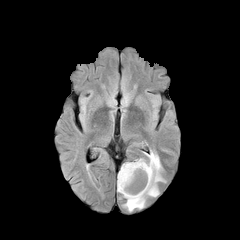
FLAIR magnetic resonance.
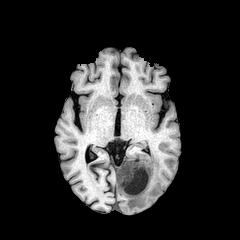
T1-weighted MR.
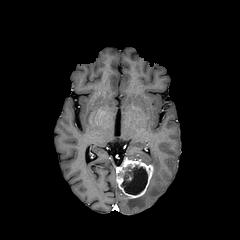
Post-contrast T1-weighted MR image of the same slice.
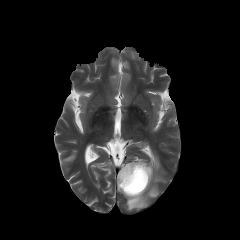
T2-weighted magnetic resonance.
Axial plane; Brain
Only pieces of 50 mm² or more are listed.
The largest enhancing tumor region lies within left=116, top=159, right=153, bottom=198. The largest peritumoral edema region lies within left=117, top=151, right=165, bottom=211. The necrotic tumor core is at left=121, top=165, right=147, bottom=194.